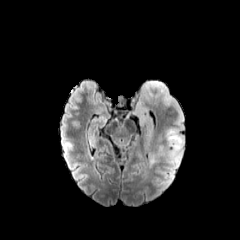
FLAIR MR image.
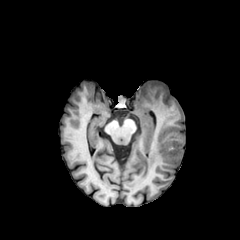
T1-weighted MR image of the same slice.
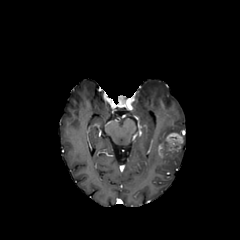
Same slice, post-contrast T1-weighted MR.
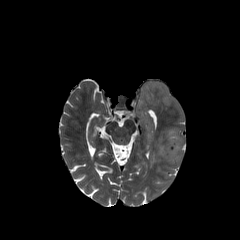
Same slice, T2-weighted magnetic resonance.
240x240 px. Axial view.
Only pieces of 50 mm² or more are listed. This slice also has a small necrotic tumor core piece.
<segmentation>
  <peritumoral_edema><bbox>167, 150, 181, 162</bbox>, <bbox>134, 80, 184, 146</bbox></peritumoral_edema>
  <enhancing_tumor><bbox>158, 132, 183, 157</bbox></enhancing_tumor>
</segmentation>